Axial view | Image covers 240 mm x 240 mm | 240x240 px
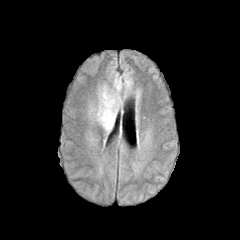
FLAIR MRI.
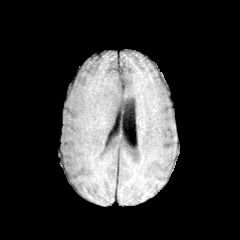
T1-weighted MR of the same slice.
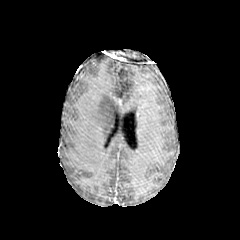
Post-contrast T1-weighted magnetic resonance.
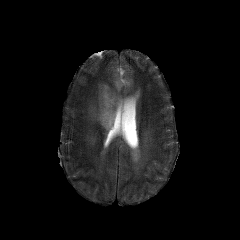
T2-weighted MR of the same slice.
Findings:
* peritumoral edema: (x1=89, y1=73, x2=122, y2=132), (x1=123, y1=73, x2=132, y2=98)